Slice index 136. Axial slice.
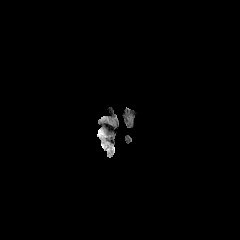
FLAIR magnetic resonance.
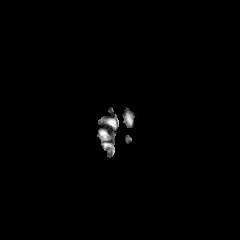
T1-weighted MR image.
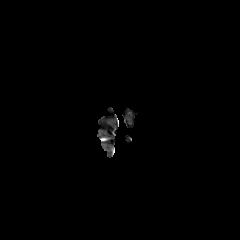
Same slice, post-contrast T1-weighted MR.
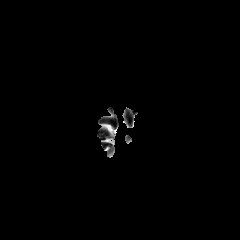
T2-weighted magnetic resonance.
peritumoral edema: box(98, 129, 105, 136)